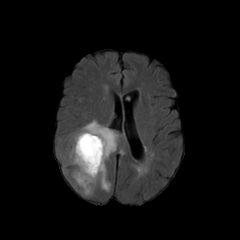
FLAIR MRI.
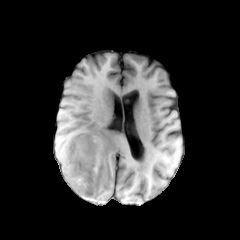
T1-weighted MR.
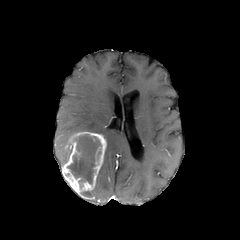
Post-contrast T1-weighted MR of the same slice.
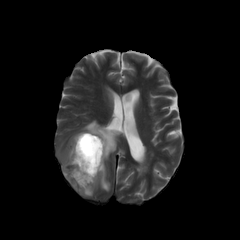
T2-weighted MR of the same slice.
Head, 240x240 px
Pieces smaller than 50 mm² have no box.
enhancing_tumor:
  - l=62, t=131, r=106, b=193
necrotic_tumor_core:
  - l=68, t=134, r=100, b=183
peritumoral_edema:
  - l=80, t=189, r=94, b=196
  - l=63, t=143, r=71, b=163
  - l=78, t=120, r=119, b=191